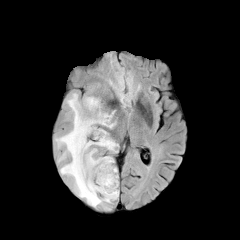
FLAIR MR.
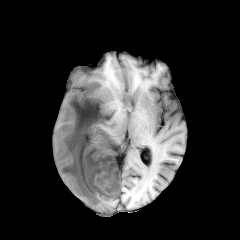
T1-weighted MR image.
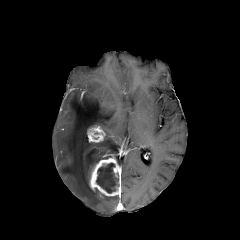
Post-contrast T1-weighted magnetic resonance of the same slice.
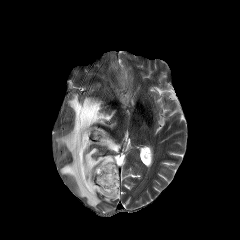
T2-weighted MRI.
Head | Image size 240x240
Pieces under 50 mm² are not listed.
necrotic tumor core: (left=96, top=163, right=119, bottom=193) | enhancing tumor: (left=87, top=125, right=105, bottom=142), (left=89, top=154, right=120, bottom=196) | peritumoral edema: (left=55, top=93, right=118, bottom=207)